FLAIR MRI.
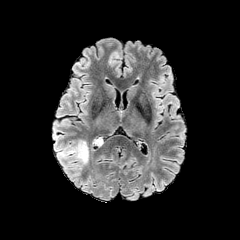
T1-weighted MR image.
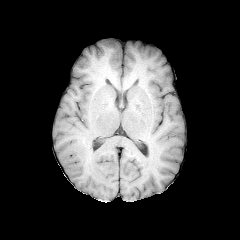
Post-contrast T1-weighted MR image.
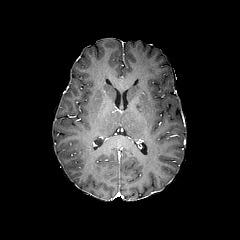
T2-weighted MR.
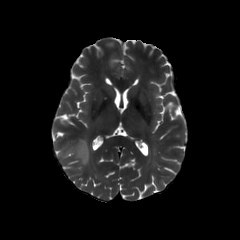
Head
peritumoral edema: (left=64, top=140, right=88, bottom=165)